Axial slice, 240x240
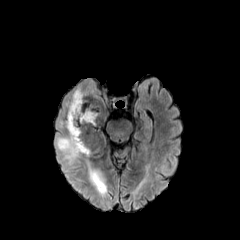
FLAIR MR image.
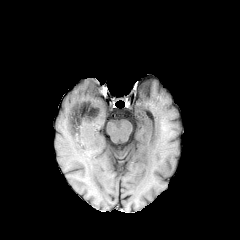
Same slice, T1-weighted MR.
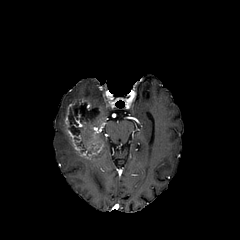
Post-contrast T1-weighted magnetic resonance.
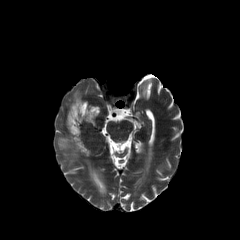
T2-weighted MR.
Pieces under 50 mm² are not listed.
necrotic tumor core = <bbox>68, 104, 99, 136</bbox>
peritumoral edema = <bbox>85, 159, 106, 195</bbox>, <bbox>72, 90, 82, 100</bbox>, <bbox>57, 136, 81, 164</bbox>
enhancing tumor = <bbox>62, 97, 106, 158</bbox>